FLAIR MRI.
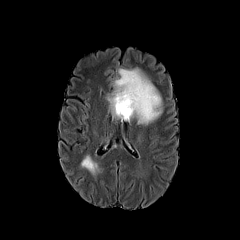
T1-weighted MR.
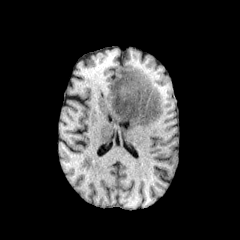
Post-contrast T1-weighted MRI.
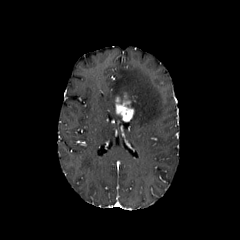
T2-weighted MR.
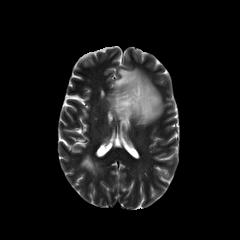
240x240; Head
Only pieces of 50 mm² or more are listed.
{"enhancing_tumor": [{"x1": 115, "y1": 93, "x2": 134, "y2": 121}], "peritumoral_edema": [{"x1": 106, "y1": 66, "x2": 164, "y2": 125}, {"x1": 78, "y1": 154, "x2": 103, "y2": 177}]}